FLAIR MRI.
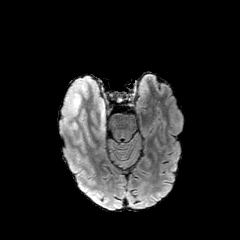
T1-weighted MR image.
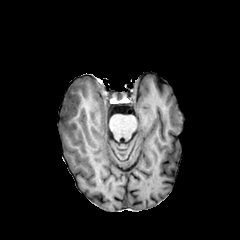
Post-contrast T1-weighted MRI.
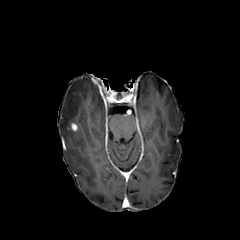
T2-weighted MRI.
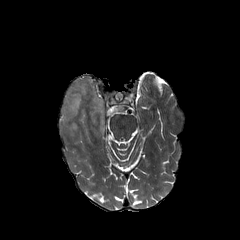
Head; Axial slice
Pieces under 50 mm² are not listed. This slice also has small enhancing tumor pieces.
The peritumoral edema appears at [x1=60, y1=75, x2=109, y2=144].